FLAIR MR image.
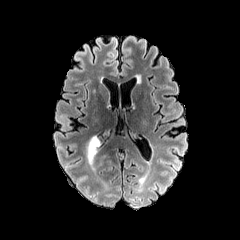
T1-weighted MR.
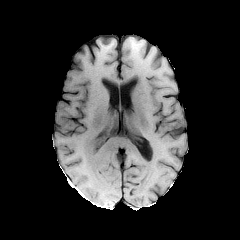
Post-contrast T1-weighted MR.
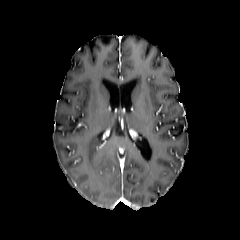
T2-weighted magnetic resonance.
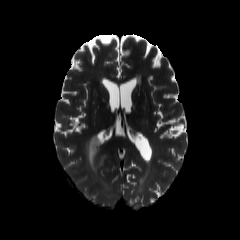
Axial slice, Brain
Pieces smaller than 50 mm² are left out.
peritumoral edema — 86 135 100 170